FLAIR MRI.
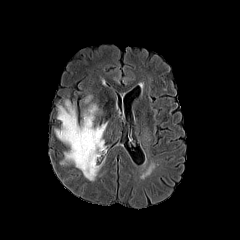
T1-weighted magnetic resonance.
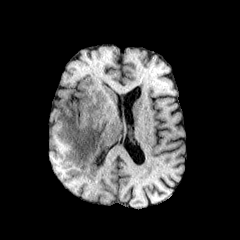
Post-contrast T1-weighted MR.
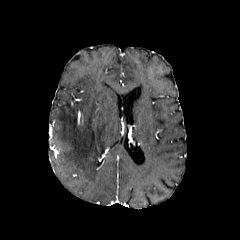
T2-weighted MRI.
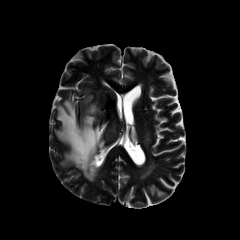
Head.
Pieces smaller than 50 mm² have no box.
peritumoral edema at [x1=55, y1=100, x2=107, y2=180]